Axial view; Brain
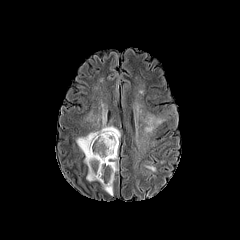
FLAIR MR.
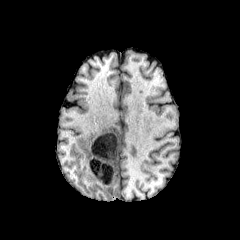
T1-weighted MRI of the same slice.
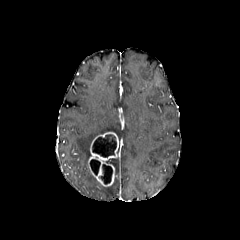
Post-contrast T1-weighted magnetic resonance.
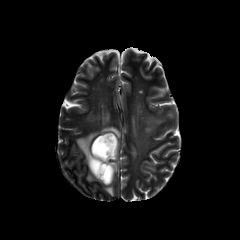
T2-weighted MRI.
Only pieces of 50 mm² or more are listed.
<segmentation>
  <enhancing_tumor>box(87, 132, 118, 186)</enhancing_tumor>
  <necrotic_tumor_core>box(90, 159, 100, 175); box(100, 164, 112, 184); box(92, 135, 116, 157)</necrotic_tumor_core>
  <peritumoral_edema>box(107, 158, 118, 171); box(144, 114, 164, 133); box(76, 110, 120, 164); box(86, 170, 96, 181); box(102, 185, 113, 195)</peritumoral_edema>
</segmentation>